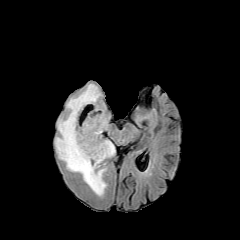
FLAIR MR image.
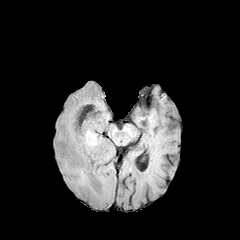
T1-weighted magnetic resonance.
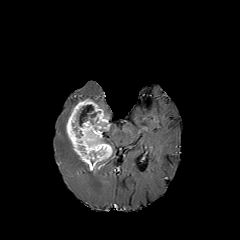
Post-contrast T1-weighted MR.
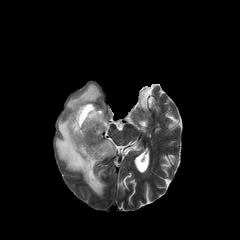
Same slice, T2-weighted MRI.
Head, Axial plane
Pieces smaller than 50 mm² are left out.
<segmentation>
  <enhancing_tumor>x1=66, y1=98, x2=112, y2=172</enhancing_tumor>
  <necrotic_tumor_core>x1=78, y1=105, x2=96, y2=126</necrotic_tumor_core>
  <peritumoral_edema>x1=103, y1=139, x2=115, y2=156; x1=55, y1=83, x2=107, y2=196</peritumoral_edema>
</segmentation>